Brain
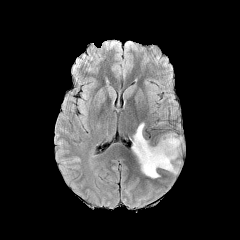
FLAIR MRI.
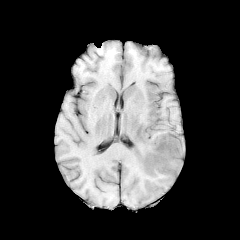
Same slice, T1-weighted MR image.
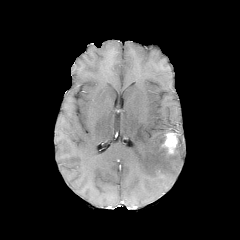
Post-contrast T1-weighted magnetic resonance.
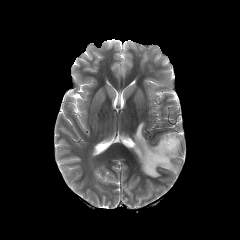
T2-weighted MRI.
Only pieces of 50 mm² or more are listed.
{"enhancing_tumor": ["(161, 132, 178, 154)"], "peritumoral_edema": ["(132, 123, 181, 177)"]}